FLAIR MRI.
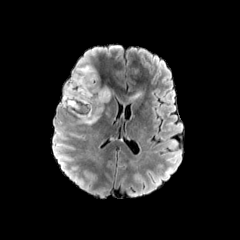
T1-weighted MR.
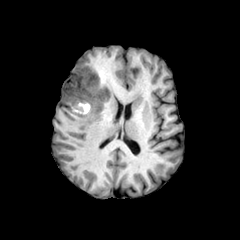
Post-contrast T1-weighted MR image.
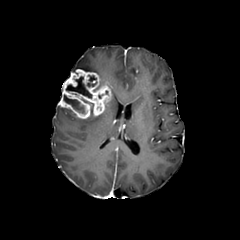
T2-weighted MR.
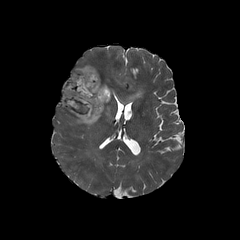
240x240 px; Head
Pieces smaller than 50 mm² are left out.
peritumoral edema: l=72, t=58, r=98, b=74; l=130, t=90, r=143, b=100; l=77, t=115, r=100, b=125; l=131, t=67, r=139, b=77 | enhancing tumor: l=58, t=69, r=112, b=119 | necrotic tumor core: l=66, t=76, r=91, b=98; l=63, t=95, r=85, b=113